Image width 240 mm. Head. Slice index 85. 240x240.
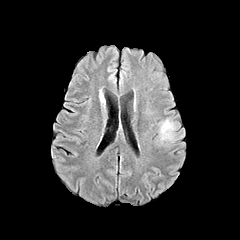
FLAIR MR.
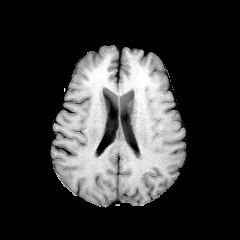
T1-weighted MR image.
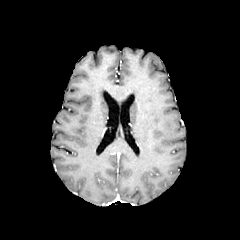
Post-contrast T1-weighted MR of the same slice.
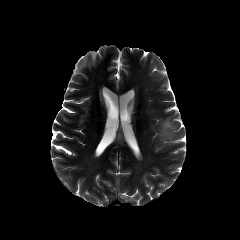
T2-weighted MR.
The peritumoral edema lies within region(160, 119, 175, 139).